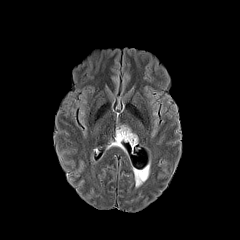
FLAIR MR image.
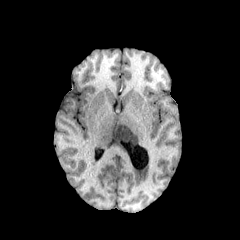
T1-weighted MR of the same slice.
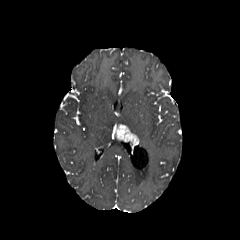
Post-contrast T1-weighted MRI of the same slice.
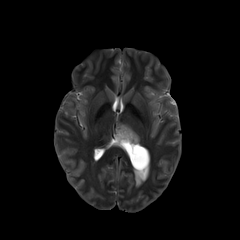
T2-weighted magnetic resonance.
Axial plane
<segmentation>
  <peritumoral_edema>box=[110, 139, 122, 148]</peritumoral_edema>
  <enhancing_tumor>box=[115, 124, 138, 144]</enhancing_tumor>
</segmentation>